Slice index 84, Image size 240x240, Head, Axial slice
FLAIR MRI.
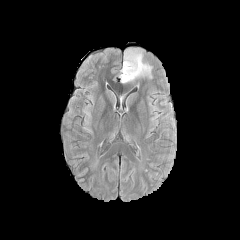
T1-weighted MR image.
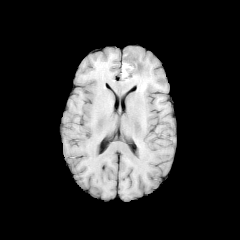
Post-contrast T1-weighted magnetic resonance.
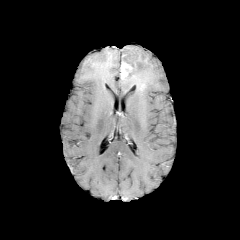
T2-weighted magnetic resonance.
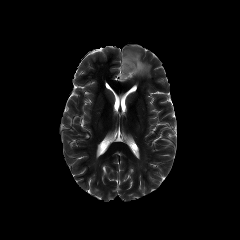
The enhancing tumor is bounded by left=120, top=62, right=132, bottom=79. The necrotic tumor core is at left=123, top=56, right=137, bottom=80. The peritumoral edema is located at left=121, top=48, right=151, bottom=82.